240x240 px; Head; Axial slice
FLAIR MRI.
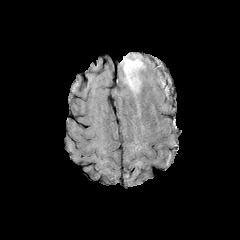
T1-weighted MRI.
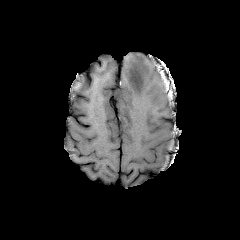
Post-contrast T1-weighted MR image.
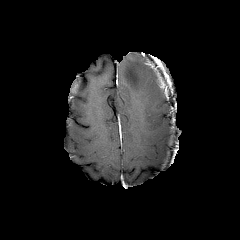
T2-weighted MR image.
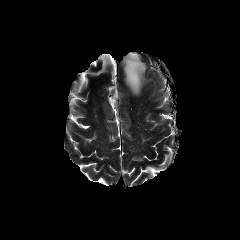
The peritumoral edema is located at <bbox>122, 53, 146, 95</bbox>.